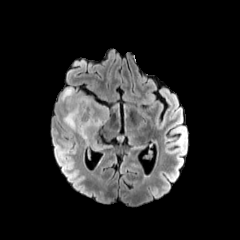
FLAIR MR.
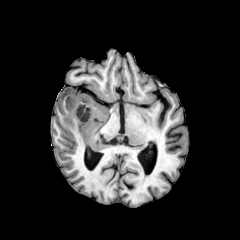
T1-weighted MRI.
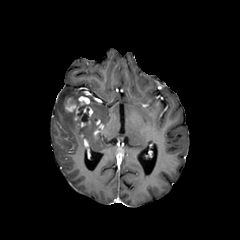
Post-contrast T1-weighted magnetic resonance of the same slice.
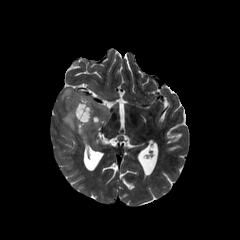
T2-weighted MR.
Axial view. 240x240.
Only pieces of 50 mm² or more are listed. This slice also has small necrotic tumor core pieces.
The enhancing tumor is at left=65, top=96, right=101, bottom=136. The 4 largest peritumoral edema regions appear at left=61, top=87, right=79, bottom=103; left=82, top=124, right=98, bottom=138; left=89, top=98, right=108, bottom=123; left=63, top=112, right=80, bottom=135.